FLAIR MR image.
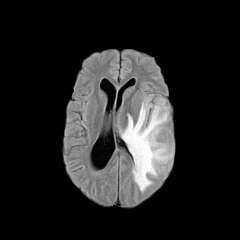
T1-weighted MR image.
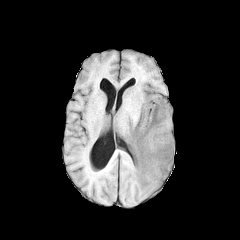
Post-contrast T1-weighted MR image.
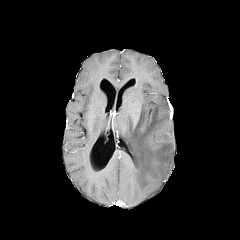
T2-weighted MRI.
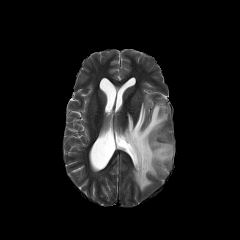
peritumoral edema at 121, 97, 173, 191